FLAIR magnetic resonance.
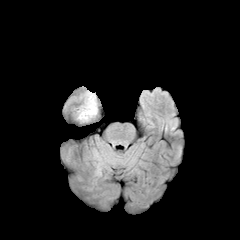
T1-weighted MRI.
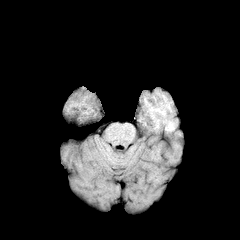
Post-contrast T1-weighted MRI.
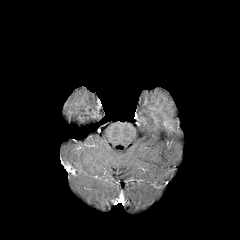
T2-weighted MR.
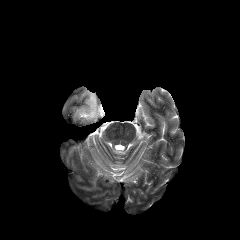
Brain | 240x240 px
peritumoral edema: [77,90,97,121], [95,153,102,174]